FLAIR MRI.
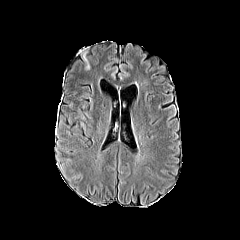
T1-weighted MR.
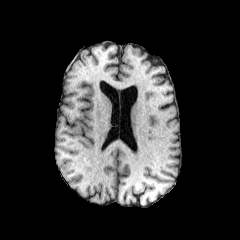
Post-contrast T1-weighted MRI.
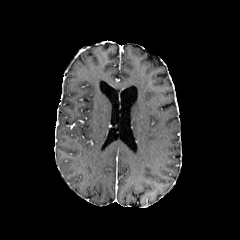
T2-weighted MRI.
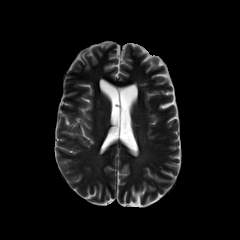
Axial slice; Head; 240x240 px
The peritumoral edema is bounded by [x1=81, y1=50, x2=90, y2=70].